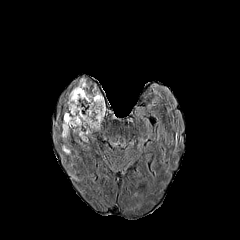
FLAIR magnetic resonance.
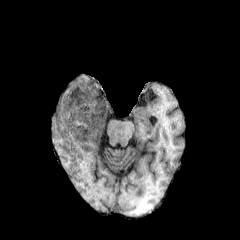
Same slice, T1-weighted MRI.
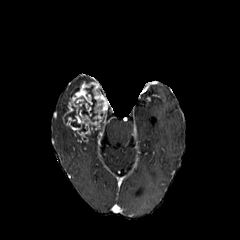
Same slice, post-contrast T1-weighted magnetic resonance.
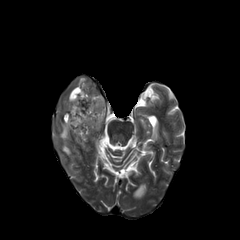
T2-weighted MR.
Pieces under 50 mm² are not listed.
enhancing tumor = bbox(63, 81, 109, 141)
peritumoral edema = bbox(61, 123, 70, 138)
necrotic tumor core = bbox(64, 106, 75, 122); bbox(79, 104, 88, 115); bbox(86, 86, 97, 121)